Slice index 108 | Image width 240 mm, 1.00 mm slice spacing
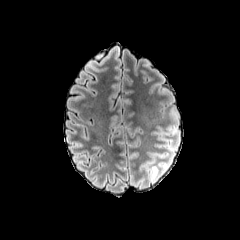
FLAIR MR.
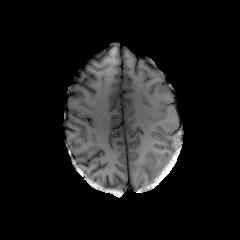
T1-weighted MR image.
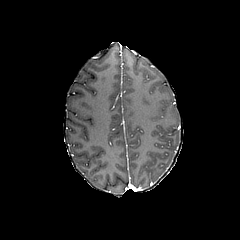
Post-contrast T1-weighted MR.
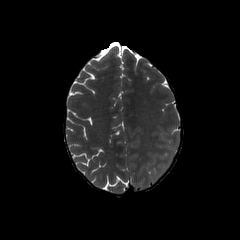
T2-weighted MR image of the same slice.
{
  "peritumoral_edema": [
    "rect(150, 166, 158, 180)"
  ]
}